Image covers 240 mm x 240 mm | Slice 83 of 155
FLAIR magnetic resonance.
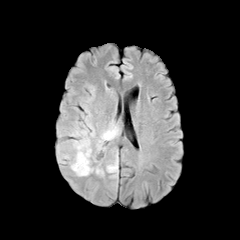
T1-weighted magnetic resonance.
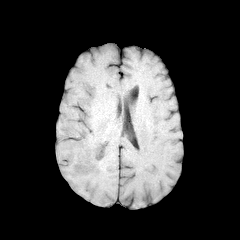
Post-contrast T1-weighted MRI.
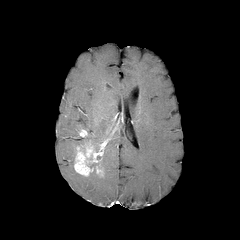
T2-weighted MR.
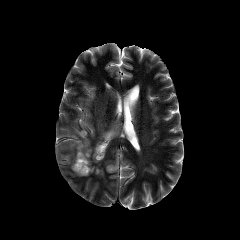
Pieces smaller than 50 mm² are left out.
<segmentation>
  <enhancing_tumor>(x1=74, y1=141, x2=105, y2=176), (x1=79, y1=130, x2=87, y2=137)</enhancing_tumor>
  <peritumoral_edema>(x1=71, y1=122, x2=119, y2=149), (x1=107, y1=162, x2=117, y2=172), (x1=70, y1=153, x2=82, y2=176), (x1=85, y1=118, x2=94, y2=136), (x1=71, y1=128, x2=80, y2=136)</peritumoral_edema>
</segmentation>